FLAIR magnetic resonance.
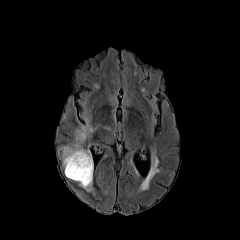
T1-weighted MR.
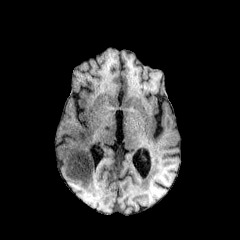
Post-contrast T1-weighted MR image.
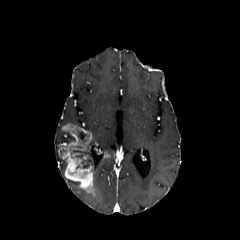
T2-weighted MRI.
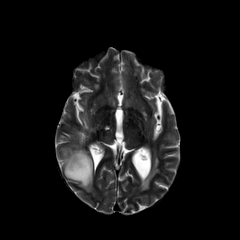
Axial view. 240x240 px.
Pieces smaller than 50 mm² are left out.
<segmentation>
  <necrotic_tumor_core>(78,131,86,143), (71,149,87,158), (81,155,92,168)</necrotic_tumor_core>
  <peritumoral_edema>(79,114,93,132)</peritumoral_edema>
  <enhancing_tumor>(57,124,97,196)</enhancing_tumor>
</segmentation>